FLAIR MRI.
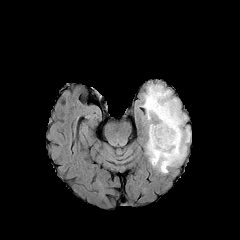
T1-weighted MR.
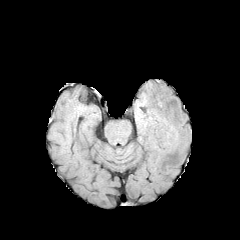
Post-contrast T1-weighted MRI.
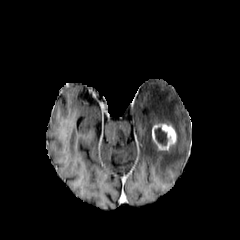
T2-weighted MR.
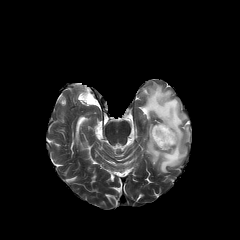
Brain. 240x240. Axial view.
necrotic_tumor_core:
  - (left=155, top=127, right=167, bottom=145)
enhancing_tumor:
  - (left=152, top=123, right=176, bottom=150)
peritumoral_edema:
  - (left=141, top=84, right=190, bottom=173)